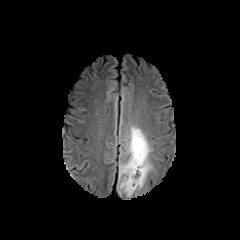
FLAIR MR image.
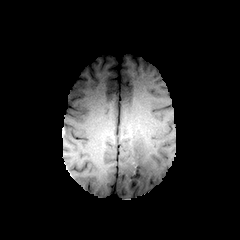
T1-weighted MR image.
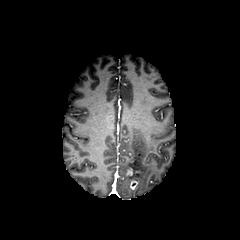
Post-contrast T1-weighted MR image.
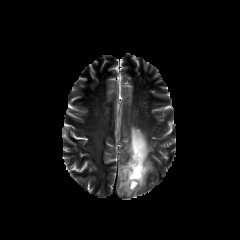
Same slice, T2-weighted MR.
Axial view, Head
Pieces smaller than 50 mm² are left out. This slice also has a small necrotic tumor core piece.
The largest enhancing tumor region appears at (127, 167, 141, 178). The peritumoral edema appears at (119, 126, 152, 196).